Slice 106 of 155
FLAIR MRI.
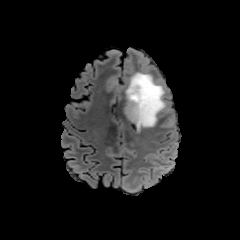
T1-weighted magnetic resonance.
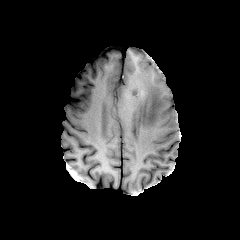
Post-contrast T1-weighted MR image.
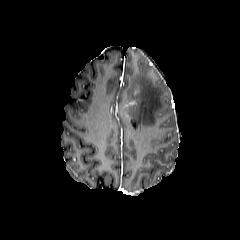
T2-weighted magnetic resonance.
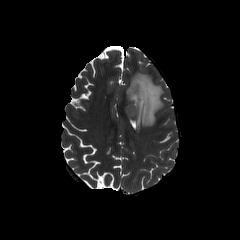
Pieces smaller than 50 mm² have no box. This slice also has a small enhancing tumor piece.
peritumoral edema at <box>124,72,165,129</box>